Brain, 240x240 px, Slice 90/155
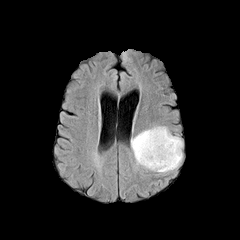
FLAIR magnetic resonance.
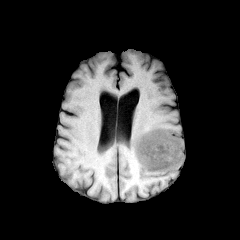
T1-weighted magnetic resonance of the same slice.
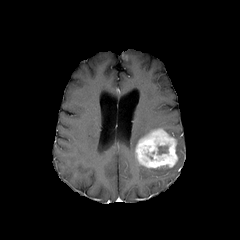
Post-contrast T1-weighted MR.
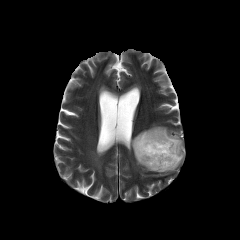
T2-weighted MRI.
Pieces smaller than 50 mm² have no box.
The necrotic tumor core is located at (x1=158, y1=146, x2=167, y2=154). The enhancing tumor is located at (x1=135, y1=128, x2=178, y2=168). The largest peritumoral edema region appears at (x1=131, y1=126, x2=182, y2=172).